Slice index 94. Head.
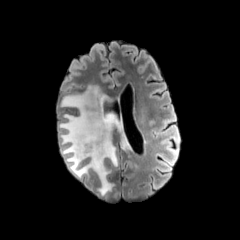
FLAIR MR image.
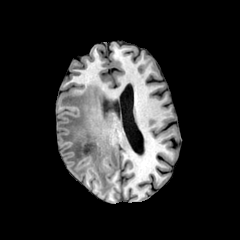
T1-weighted MR.
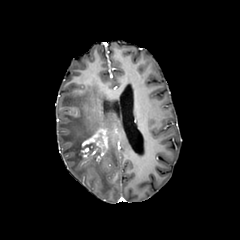
Post-contrast T1-weighted MR of the same slice.
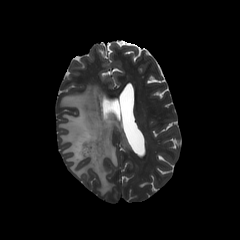
T2-weighted MR.
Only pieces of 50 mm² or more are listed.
peritumoral edema at region(58, 85, 132, 195)
necrotic tumor core at region(83, 143, 101, 157)
enhancing tumor at region(80, 129, 108, 161)